240x240 px. Brain. Slice 84 of 155.
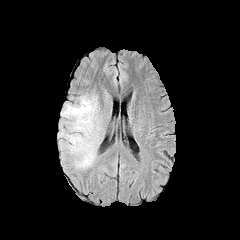
FLAIR MRI.
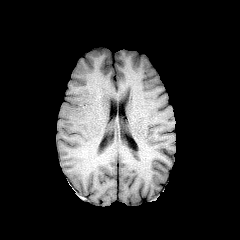
T1-weighted MR of the same slice.
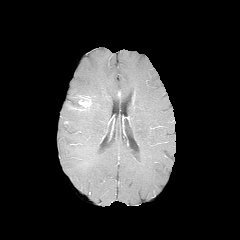
Post-contrast T1-weighted MRI of the same slice.
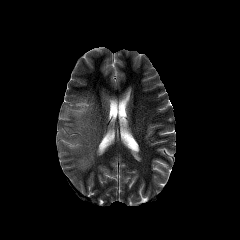
T2-weighted magnetic resonance.
Segmented structures:
* peritumoral edema: box(58, 95, 99, 169)